FLAIR MRI.
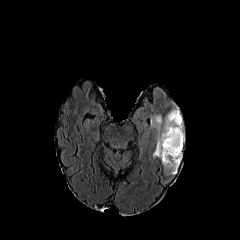
T1-weighted MR.
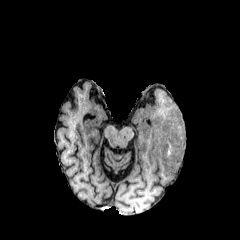
Post-contrast T1-weighted MR image.
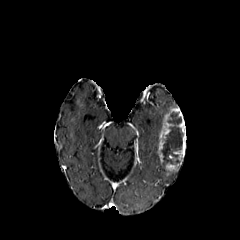
T2-weighted MRI.
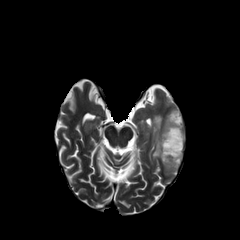
Head. Image size 240x240. Axial slice.
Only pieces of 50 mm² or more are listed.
necrotic tumor core: bounding box bbox(161, 112, 183, 166)
enhancing tumor: bounding box bbox(157, 106, 185, 174)
peritumoral edema: bounding box bbox(150, 114, 162, 158)